Slice 44 of 155; Image width 240 mm
FLAIR MR.
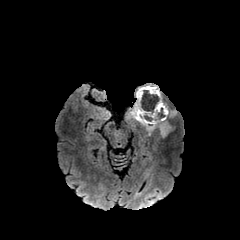
T1-weighted MR.
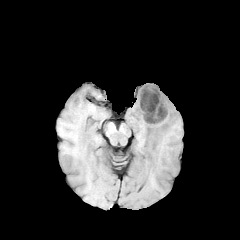
Post-contrast T1-weighted MR.
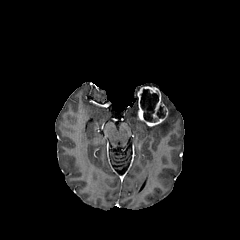
T2-weighted MRI.
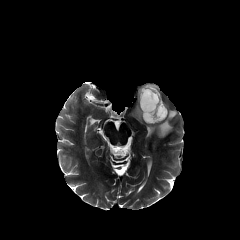
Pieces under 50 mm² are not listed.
The enhancing tumor is located at 137 86 168 126. The largest peritumoral edema region appears at 127 93 177 137. 2 necrotic tumor core regions are located at 140 89 158 113, 143 108 165 121.